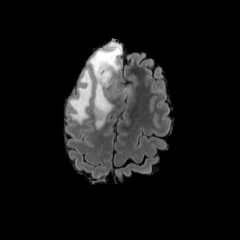
FLAIR MRI.
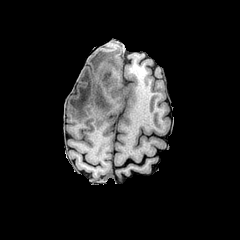
Same slice, T1-weighted magnetic resonance.
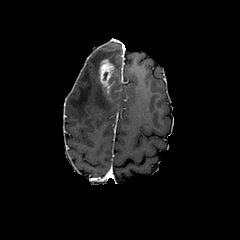
Same slice, post-contrast T1-weighted MR image.
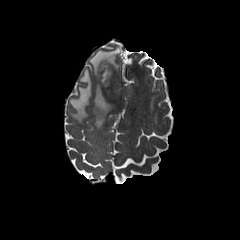
T2-weighted MR image of the same slice.
Image size 240x240
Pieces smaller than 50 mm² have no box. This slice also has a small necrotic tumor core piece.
<segmentation>
  <peritumoral_edema>{"x1": 69, "y1": 69, "x2": 92, "y2": 123}, {"x1": 88, "y1": 41, "x2": 121, "y2": 128}</peritumoral_edema>
  <enhancing_tumor>{"x1": 98, "y1": 59, "x2": 113, "y2": 94}</enhancing_tumor>
</segmentation>